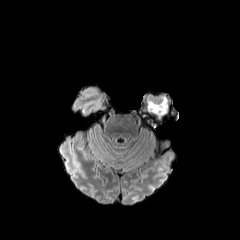
FLAIR MR.
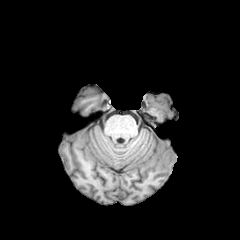
T1-weighted MR image.
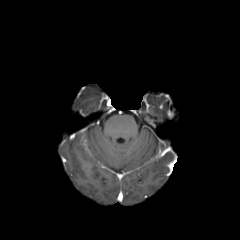
Post-contrast T1-weighted MRI.
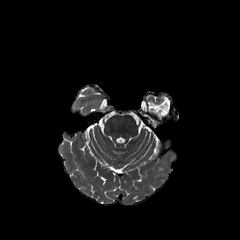
T2-weighted MR image.
Axial view, Image size 240x240, Brain
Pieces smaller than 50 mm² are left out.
<segmentation>
  <peritumoral_edema>[147,98,168,117]</peritumoral_edema>
</segmentation>